FLAIR MR image.
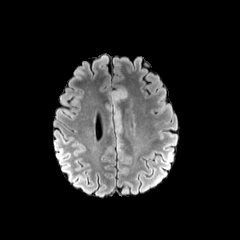
T1-weighted MRI.
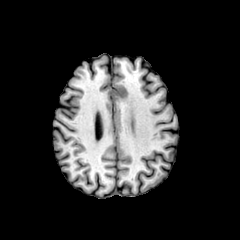
Post-contrast T1-weighted MR.
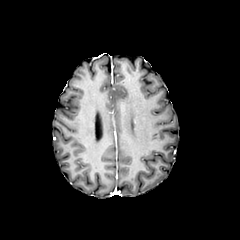
T2-weighted MR image.
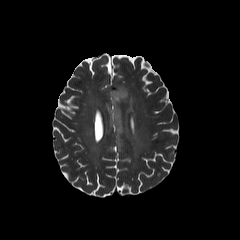
Brain. Axial slice. 240x240 px.
{
  "peritumoral_edema": [
    "110 87 128 118"
  ]
}